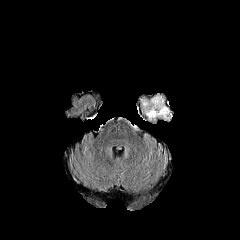
FLAIR magnetic resonance.
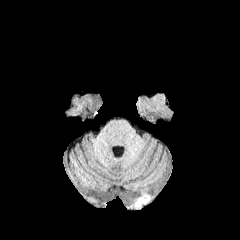
T1-weighted magnetic resonance.
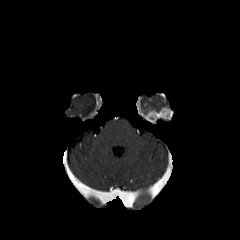
Post-contrast T1-weighted MR of the same slice.
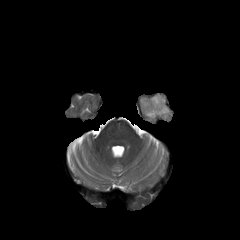
T2-weighted MRI of the same slice.
Image size 240x240 | Head | Axial view
enhancing tumor — bbox(145, 107, 172, 122)
peritumoral edema — bbox(142, 96, 165, 114)